Image width 240 mm; Slice 103 of 155
FLAIR magnetic resonance.
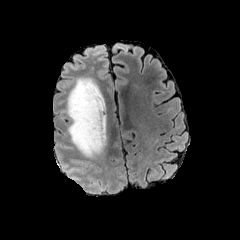
T1-weighted MR image.
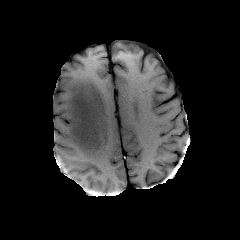
Post-contrast T1-weighted MRI.
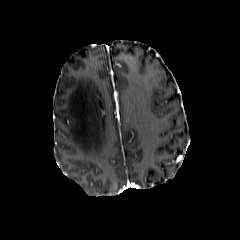
T2-weighted MRI.
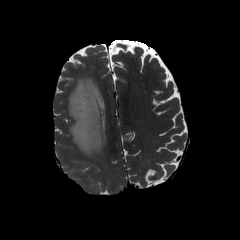
peritumoral edema: [67, 77, 106, 157]